240x240 px; Head; Axial slice
FLAIR magnetic resonance.
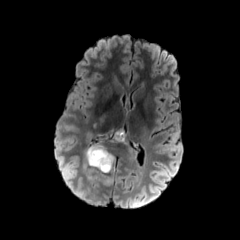
T1-weighted MRI.
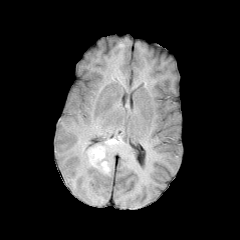
Post-contrast T1-weighted MRI.
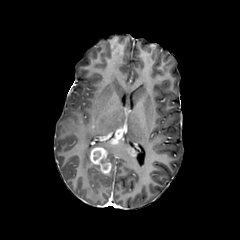
T2-weighted MRI.
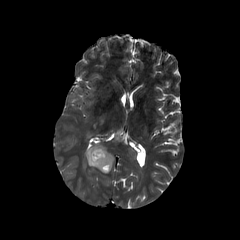
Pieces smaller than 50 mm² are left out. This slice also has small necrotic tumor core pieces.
enhancing tumor = l=125, t=146, r=137, b=156; l=105, t=126, r=125, b=143; l=89, t=147, r=111, b=173
peritumoral edema = l=83, t=141, r=106, b=183; l=107, t=152, r=115, b=166